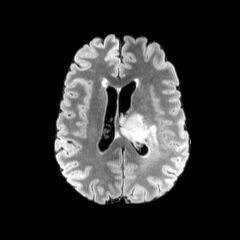
FLAIR MR.
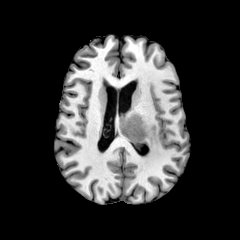
T1-weighted MR of the same slice.
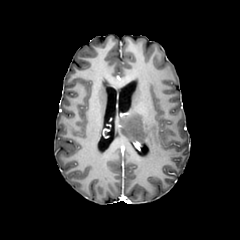
Post-contrast T1-weighted MR image.
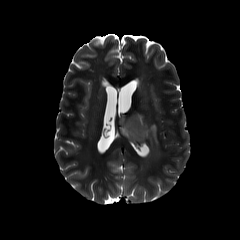
T2-weighted MR image.
Brain
peritumoral edema: box(120, 113, 161, 157)